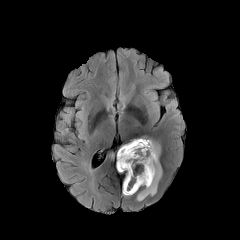
FLAIR MR.
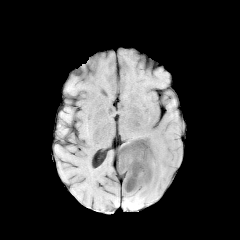
T1-weighted MRI.
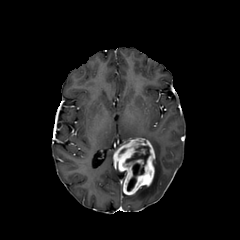
Same slice, post-contrast T1-weighted MR.
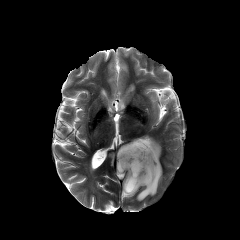
T2-weighted MR image of the same slice.
Image size 240x240. Brain.
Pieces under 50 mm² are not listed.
Annotated regions:
- peritumoral edema: box(136, 137, 162, 201)
- necrotic tumor core: box(125, 146, 149, 191)
- enhancing tumor: box(113, 138, 155, 195)